Slice 69/155. Brain.
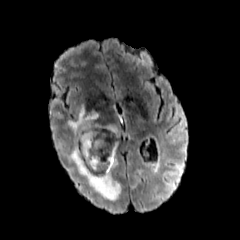
FLAIR MR.
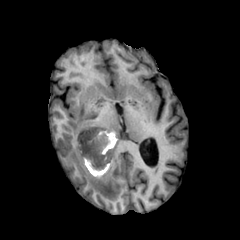
T1-weighted MR.
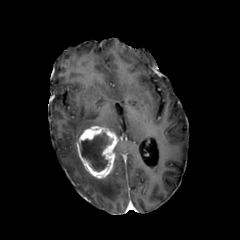
Post-contrast T1-weighted MRI of the same slice.
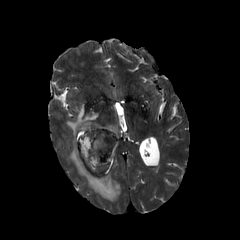
Same slice, T2-weighted magnetic resonance.
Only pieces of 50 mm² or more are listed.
enhancing tumor: bounding box x1=76, y1=126, x2=117, y2=178
peritumoral edema: bounding box x1=106, y1=125, x2=117, y2=136; x1=68, y1=105, x2=120, y2=201
necrotic tumor core: bounding box x1=81, y1=132, x2=112, y2=171